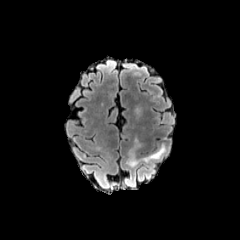
FLAIR MR.
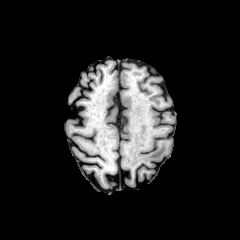
T1-weighted MR image.
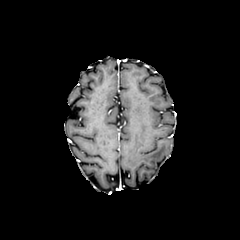
Post-contrast T1-weighted MR.
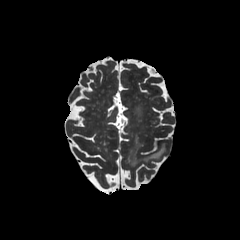
T2-weighted MR image of the same slice.
240x240
The peritumoral edema is bounded by {"x1": 125, "y1": 143, "x2": 166, "y2": 166}.